FLAIR MR image.
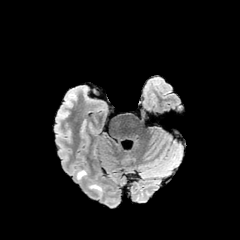
T1-weighted MRI.
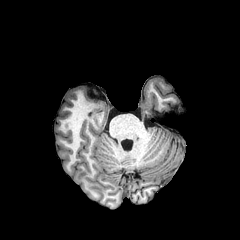
Post-contrast T1-weighted MR.
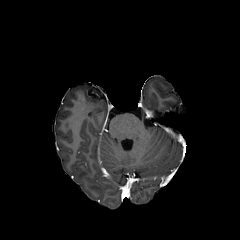
T2-weighted MR.
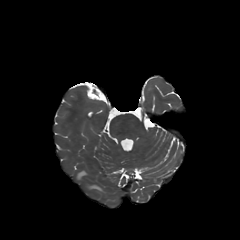
Image size 240x240; Axial plane; Head
2 peritumoral edema regions are bounded by (x1=76, y1=170, x2=87, y2=180), (x1=87, y1=184, x2=105, y2=192).